Axial view, Image width 240 mm, 1.00 mm slice spacing, Brain
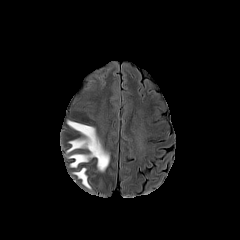
FLAIR MR image.
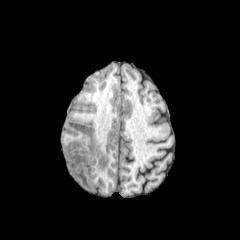
T1-weighted MR.
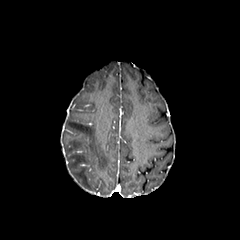
Same slice, post-contrast T1-weighted MR image.
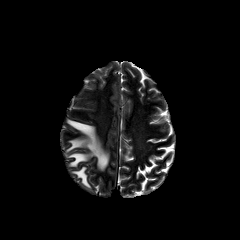
T2-weighted magnetic resonance of the same slice.
peritumoral_edema:
  - l=73, t=167, r=91, b=189
  - l=66, t=120, r=109, b=171